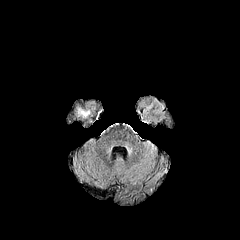
FLAIR MR.
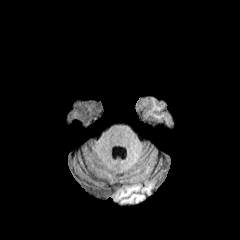
Same slice, T1-weighted MR.
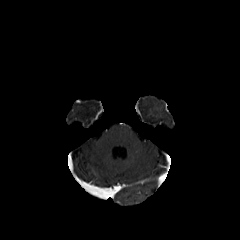
Post-contrast T1-weighted MR.
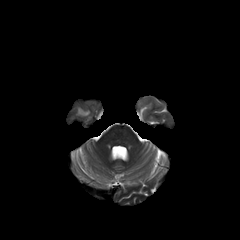
T2-weighted MR.
Axial slice. Head. 240x240.
Segmented structures:
- peritumoral edema: (x1=78, y1=108, x2=89, y2=117)